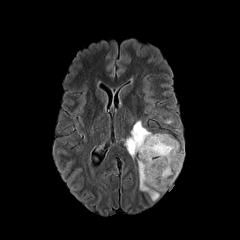
FLAIR MR image.
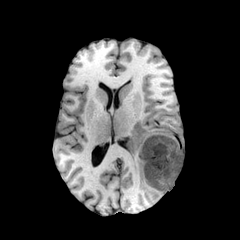
T1-weighted MR.
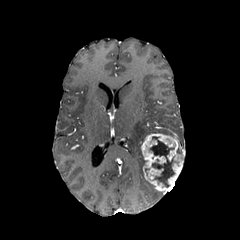
Post-contrast T1-weighted magnetic resonance.
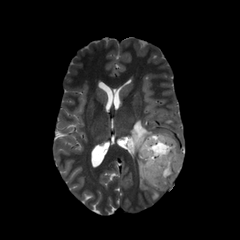
Same slice, T2-weighted MR image.
Axial slice, Head
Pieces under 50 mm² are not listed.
The largest necrotic tumor core region is bounded by <bbox>150, 136, 174, 187</bbox>. The largest peritumoral edema region lies within <bbox>127, 120, 159, 200</bbox>. The enhancing tumor lies within <bbox>140, 133, 184, 193</bbox>.